Axial plane
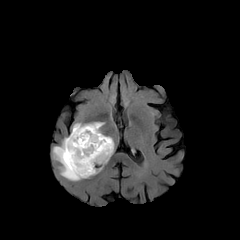
FLAIR MR image.
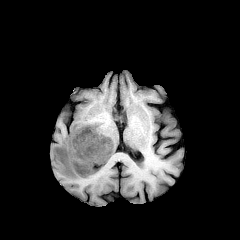
T1-weighted MR image of the same slice.
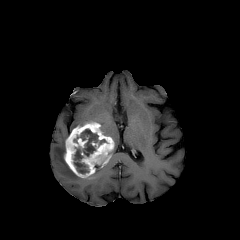
Same slice, post-contrast T1-weighted MR image.
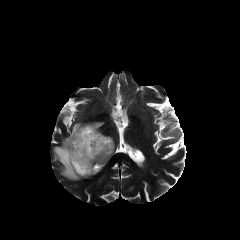
T2-weighted MR image.
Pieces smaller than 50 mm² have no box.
peritumoral edema — x1=52 y1=137 x2=82 y2=180
necrotic tumor core — x1=74 y1=129 x2=98 y2=173
enhancing tumor — x1=64 y1=122 x2=114 y2=178